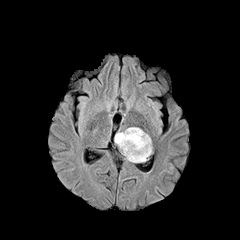
FLAIR magnetic resonance.
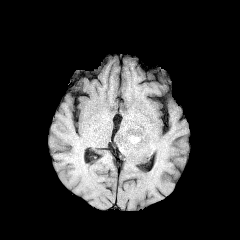
T1-weighted MR.
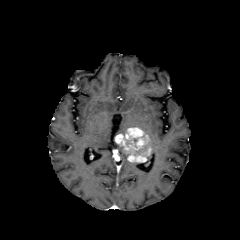
Same slice, post-contrast T1-weighted magnetic resonance.
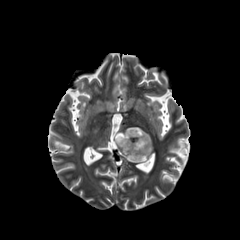
T2-weighted magnetic resonance.
Head
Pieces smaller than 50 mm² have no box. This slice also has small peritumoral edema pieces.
<segmentation>
  <enhancing_tumor>(left=115, top=127, right=151, bottom=162)</enhancing_tumor>
</segmentation>